FLAIR MRI.
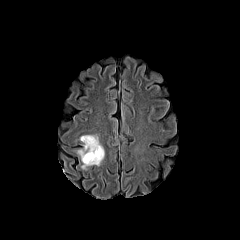
T1-weighted MR image.
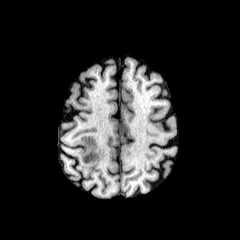
Post-contrast T1-weighted MRI.
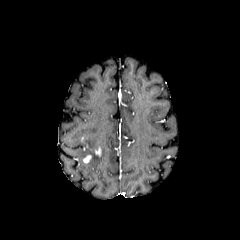
T2-weighted MR image.
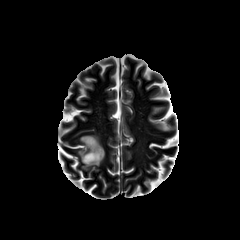
240x240 px.
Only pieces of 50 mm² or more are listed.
The 2 largest enhancing tumor regions are located at bbox(83, 154, 92, 163); bbox(95, 147, 101, 156). The peritumoral edema is bounded by bbox(77, 135, 104, 169).